FLAIR MR image.
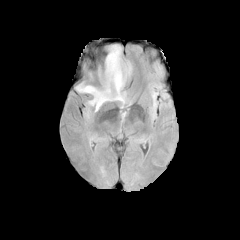
T1-weighted MR image.
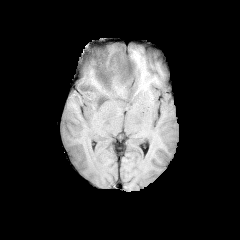
Post-contrast T1-weighted MRI.
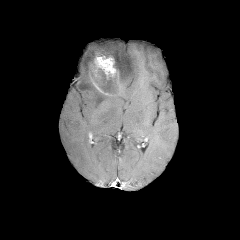
T2-weighted MR.
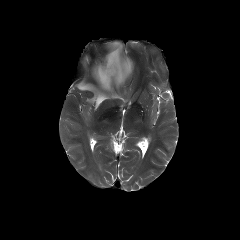
Axial slice; Head
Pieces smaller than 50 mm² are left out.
necrotic tumor core: bounding box 97, 69, 117, 92
enhancing tumor: bounding box 89, 55, 126, 96
peritumoral edema: bounding box 104, 43, 132, 84; 77, 57, 124, 110